Image width 240 mm, 1.00 mm slice spacing. 240x240.
FLAIR MR.
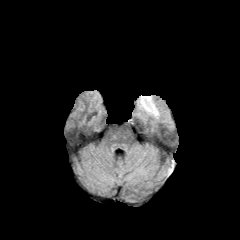
T1-weighted MRI.
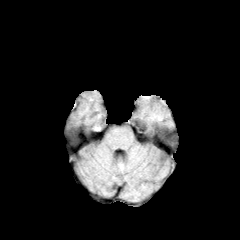
Post-contrast T1-weighted MR image.
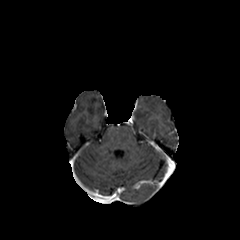
T2-weighted MRI.
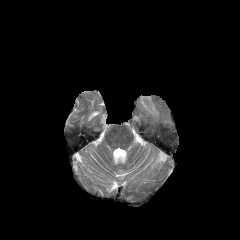
<segmentation>
  <peritumoral_edema><box>141,96,158,115</box></peritumoral_edema>
</segmentation>